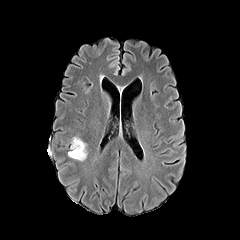
FLAIR magnetic resonance.
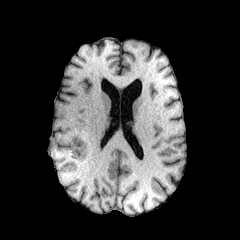
T1-weighted MRI.
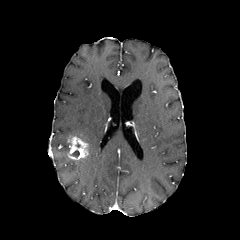
Post-contrast T1-weighted MR image of the same slice.
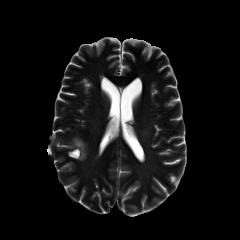
T2-weighted MRI.
Head | 240x240 | Axial slice
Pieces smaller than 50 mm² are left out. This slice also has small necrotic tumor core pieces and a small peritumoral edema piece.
<segmentation>
  <enhancing_tumor>rect(68, 136, 88, 159)</enhancing_tumor>
</segmentation>